Axial slice | Slice 57 of 155 | Head
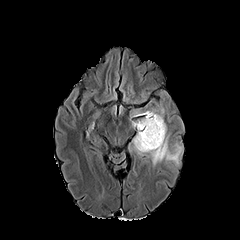
FLAIR MR.
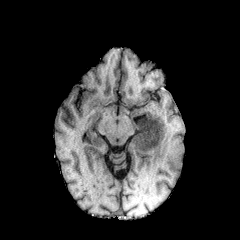
T1-weighted magnetic resonance.
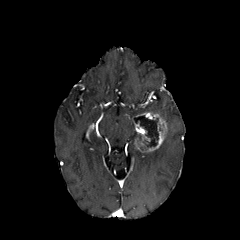
Same slice, post-contrast T1-weighted MR.
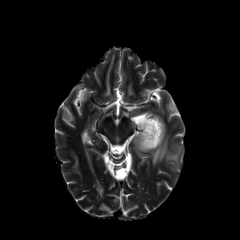
T2-weighted MRI of the same slice.
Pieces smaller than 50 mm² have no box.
Annotated regions:
* enhancing tumor: (134,112,167,152), (134,121,150,141)
* necrotic tumor core: (134,115,158,147)
* peritumoral edema: (149,134,182,165)